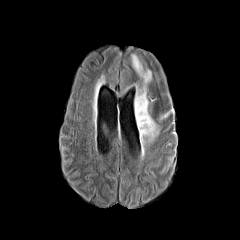
FLAIR MRI.
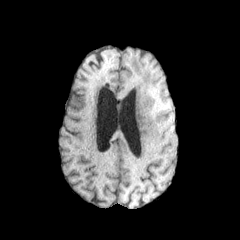
T1-weighted MR image.
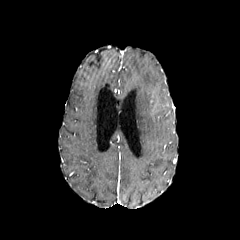
Post-contrast T1-weighted MR image of the same slice.
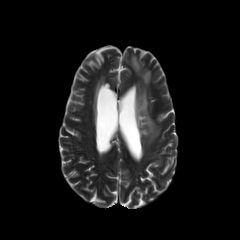
Same slice, T2-weighted MR.
Brain
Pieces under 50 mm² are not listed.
peritumoral edema: (132,55,158,155)